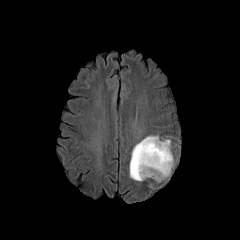
FLAIR MRI.
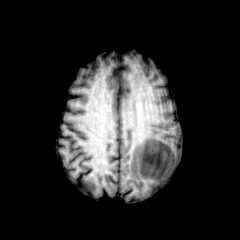
Same slice, T1-weighted MR.
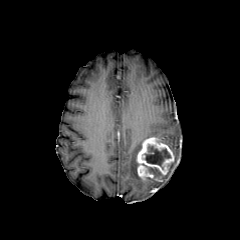
Post-contrast T1-weighted MR image.
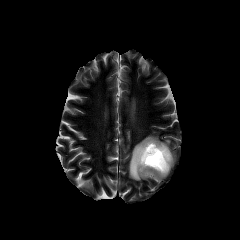
T2-weighted magnetic resonance.
Axial slice; 240x240
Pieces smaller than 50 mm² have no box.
Segmented structures:
• enhancing tumor: bbox=[136, 137, 174, 181]
• peritumoral edema: bbox=[161, 139, 170, 148]; bbox=[129, 135, 158, 181]
• necrotic tumor core: bbox=[148, 167, 159, 177]; bbox=[145, 145, 170, 166]